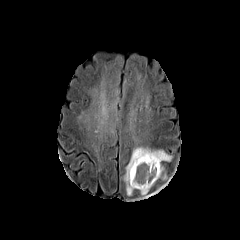
FLAIR MRI.
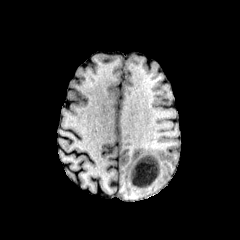
T1-weighted MR.
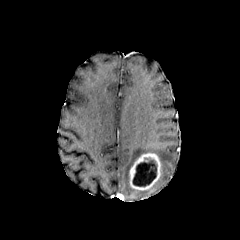
Post-contrast T1-weighted MR image.
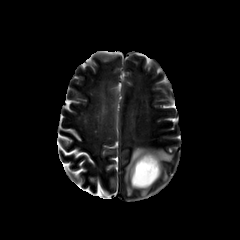
T2-weighted MR image of the same slice.
Head; Image size 240x240; Axial slice
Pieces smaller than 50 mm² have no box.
enhancing_tumor:
  - <bbox>129, 153, 161, 190</bbox>
necrotic_tumor_core:
  - <bbox>133, 160, 156, 186</bbox>
peritumoral_edema:
  - <bbox>124, 147, 172, 195</bbox>